FLAIR MR image.
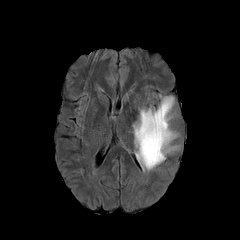
T1-weighted MR image.
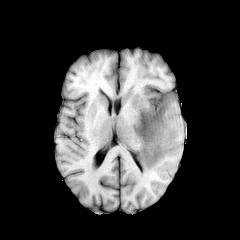
Post-contrast T1-weighted MR image.
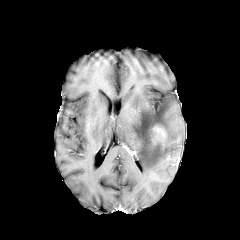
T2-weighted MR.
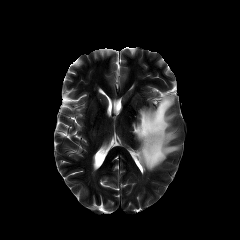
Axial view | Image size 240x240
The peritumoral edema is bounded by (x1=132, y1=95, x2=179, y2=170). The enhancing tumor lies within (x1=151, y1=125, x2=165, y2=143).